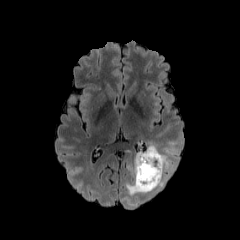
FLAIR magnetic resonance.
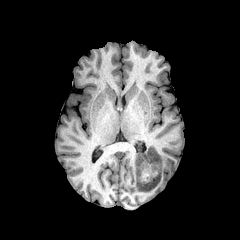
Same slice, T1-weighted MR image.
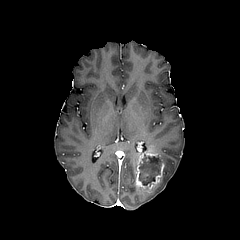
Same slice, post-contrast T1-weighted magnetic resonance.
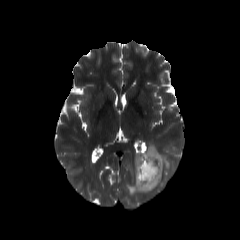
Same slice, T2-weighted MR.
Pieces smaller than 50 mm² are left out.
enhancing tumor at [135, 149, 164, 189]
peritumoral edema at [125, 139, 181, 196]
necrotic tumor core at [139, 155, 162, 185]